Axial view, Image width 240 mm, Brain
FLAIR magnetic resonance.
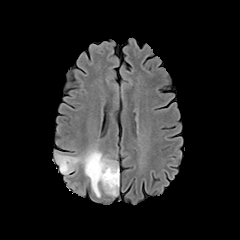
T1-weighted MRI.
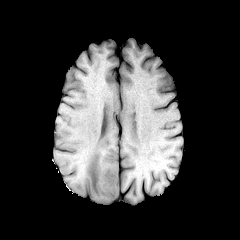
Post-contrast T1-weighted MR.
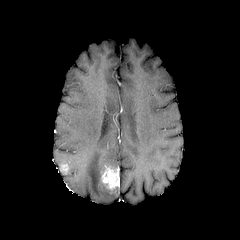
T2-weighted MR image.
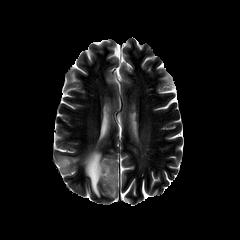
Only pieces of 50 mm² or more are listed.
peritumoral edema: region(56, 149, 117, 197)
enhancing tumor: region(60, 163, 68, 173); region(101, 165, 117, 190)